FLAIR MR.
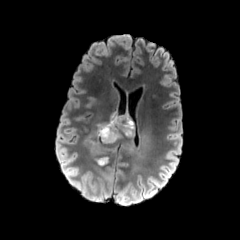
T1-weighted MRI.
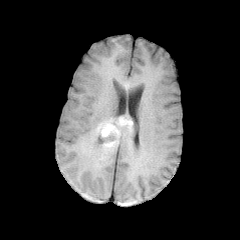
Post-contrast T1-weighted MRI.
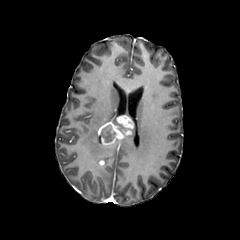
T2-weighted magnetic resonance.
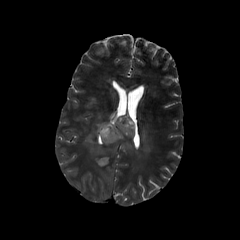
240x240 px; Axial view; Brain
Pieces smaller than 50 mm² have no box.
enhancing tumor — rect(97, 115, 133, 144)
peritumoral edema — rect(109, 113, 129, 133); rect(121, 124, 151, 170); rect(83, 122, 115, 167)
necrotic tumor core — rect(99, 125, 115, 142)